Slice 78 of 155. Head. 240x240 px.
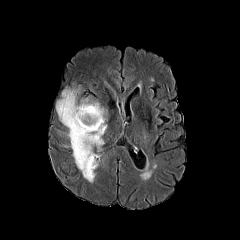
FLAIR MRI.
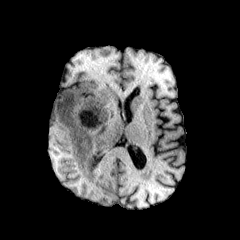
Same slice, T1-weighted MRI.
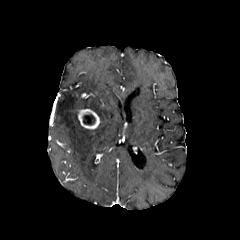
Same slice, post-contrast T1-weighted MRI.
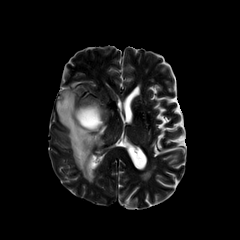
T2-weighted MRI of the same slice.
peritumoral edema = bbox=[56, 88, 106, 182]
necrotic tumor core = bbox=[83, 114, 95, 124]
enhancing tumor = bbox=[78, 108, 100, 129]